FLAIR MR.
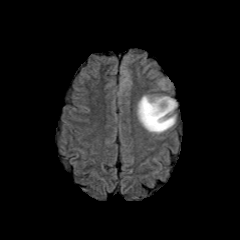
T1-weighted MR image.
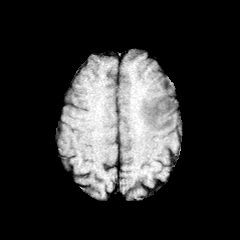
Post-contrast T1-weighted MR image.
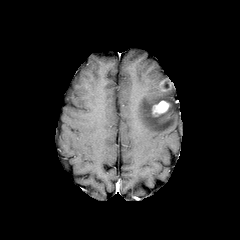
T2-weighted MR image.
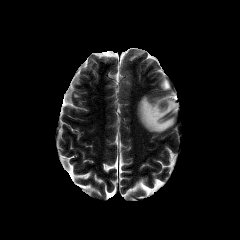
Head
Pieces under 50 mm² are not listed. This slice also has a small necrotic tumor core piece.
Findings:
- enhancing tumor: {"x1": 152, "y1": 100, "x2": 170, "y2": 116}
- peritumoral edema: {"x1": 137, "y1": 95, "x2": 177, "y2": 133}